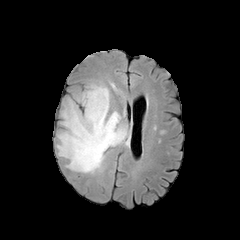
FLAIR MR image.
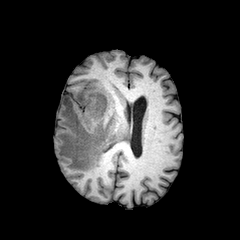
Same slice, T1-weighted MR.
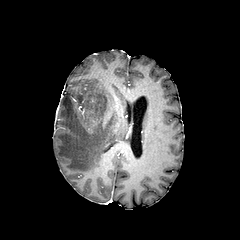
Post-contrast T1-weighted MRI of the same slice.
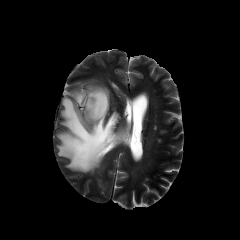
T2-weighted MR.
Brain; Axial slice; 240x240
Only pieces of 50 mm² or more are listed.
peritumoral_edema:
  - <bbox>56, 83, 126, 173</bbox>